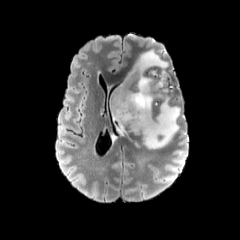
FLAIR MRI.
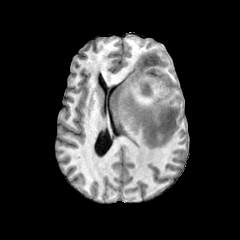
T1-weighted MR image.
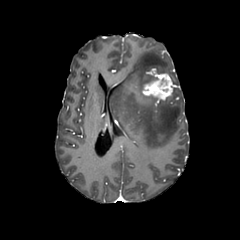
Post-contrast T1-weighted MR image.
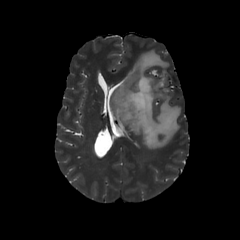
T2-weighted MRI.
240x240 px, Head
peritumoral edema: (110, 49, 180, 149) | enhancing tumor: (142, 73, 174, 99)